Image size 240x240 | Brain
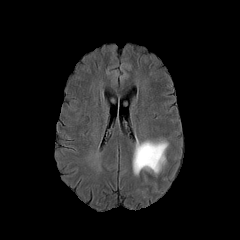
FLAIR MR image.
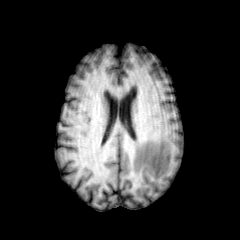
T1-weighted magnetic resonance.
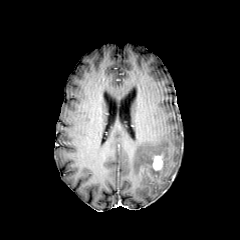
Same slice, post-contrast T1-weighted MRI.
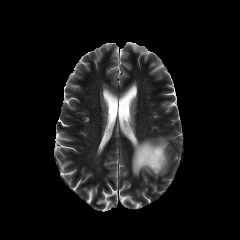
T2-weighted MR image.
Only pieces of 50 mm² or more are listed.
peritumoral edema at <box>132,139,168,175</box>
enhancing tumor at <box>148,150,164,170</box>